Brain.
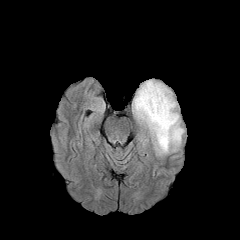
FLAIR MRI.
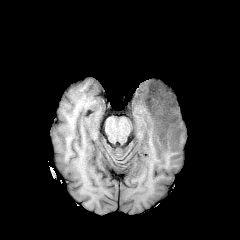
T1-weighted magnetic resonance.
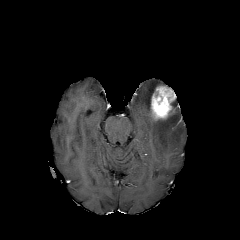
Post-contrast T1-weighted MRI.
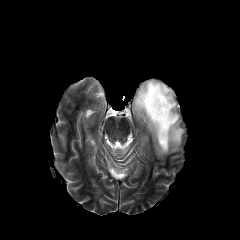
T2-weighted MR image.
enhancing tumor = x1=150, y1=85, x2=175, y2=120
peritumoral edema = x1=132, y1=79, x2=184, y2=155